FLAIR MR.
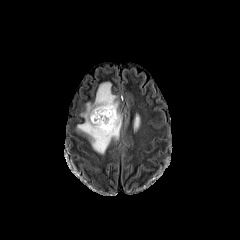
T1-weighted MR image.
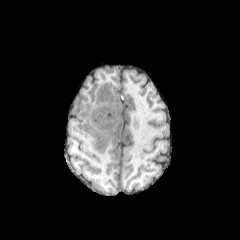
Post-contrast T1-weighted MR.
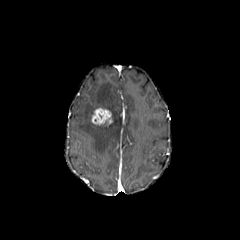
T2-weighted magnetic resonance.
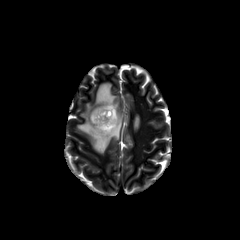
Head
peritumoral_edema:
  - <box>77,82,121,154</box>
  - <box>134,114,140,130</box>
enhancing_tumor:
  - <box>91,107,112,125</box>